Head | Slice index 128 | Image covers 240 mm x 240 mm
FLAIR MRI.
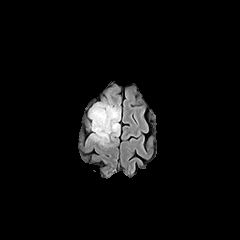
T1-weighted MR image.
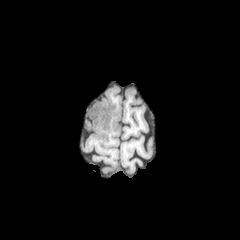
Post-contrast T1-weighted MR.
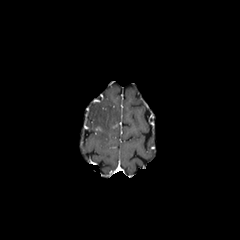
T2-weighted MR.
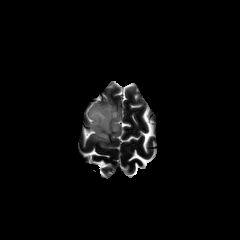
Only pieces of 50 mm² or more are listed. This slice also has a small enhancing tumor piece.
<segmentation>
  <peritumoral_edema>rect(89, 103, 120, 145)</peritumoral_edema>
</segmentation>